Head
FLAIR magnetic resonance.
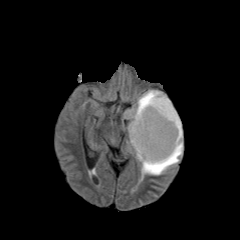
T1-weighted MRI.
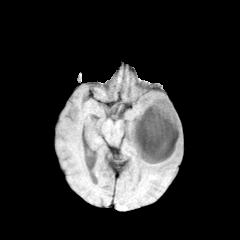
Post-contrast T1-weighted MR image.
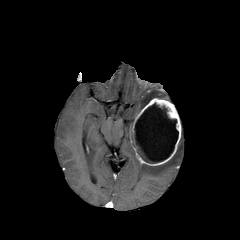
T2-weighted MRI.
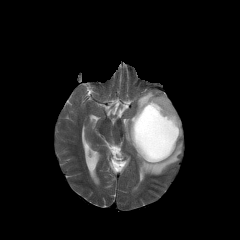
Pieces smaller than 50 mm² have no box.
enhancing tumor: box=[130, 98, 181, 165]
peritumoral edema: box=[140, 131, 182, 180]; box=[123, 90, 167, 148]
necrotic tumor core: box=[134, 103, 178, 163]